FLAIR MR.
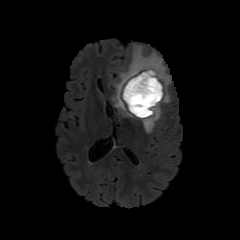
T1-weighted MRI.
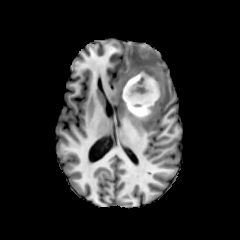
Post-contrast T1-weighted MRI.
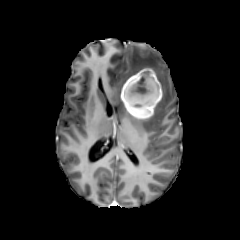
T2-weighted MRI.
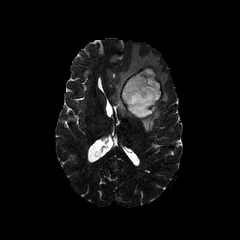
Image size 240x240
{"necrotic_tumor_core": ["box=[124, 71, 159, 115]"], "enhancing_tumor": ["box=[121, 68, 162, 118]"], "peritumoral_edema": ["box=[112, 45, 170, 117]", "box=[140, 102, 161, 132]"]}